FLAIR magnetic resonance.
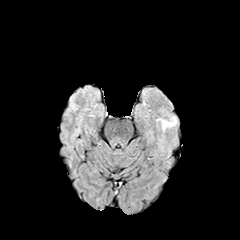
T1-weighted MRI.
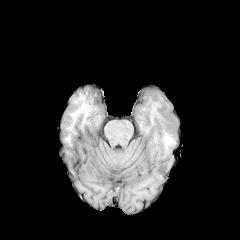
Post-contrast T1-weighted MR.
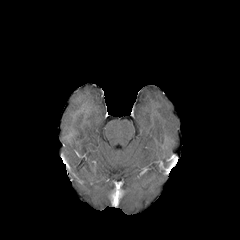
T2-weighted MR image.
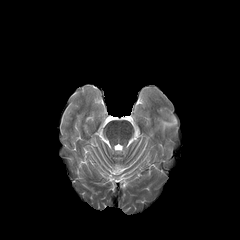
Axial plane
peritumoral edema: bounding box <bbox>157, 113, 177, 131</bbox>